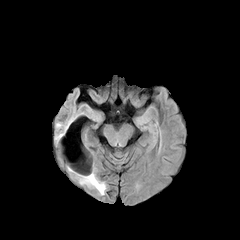
FLAIR MR image.
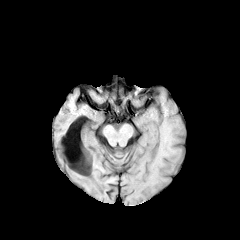
Same slice, T1-weighted magnetic resonance.
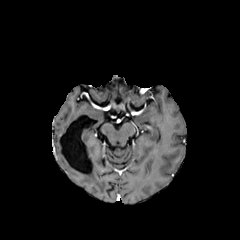
Same slice, post-contrast T1-weighted magnetic resonance.
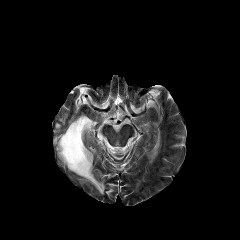
T2-weighted MR.
Head.
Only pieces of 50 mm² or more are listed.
• peritumoral edema: (x1=79, y1=173, x2=105, y2=194)